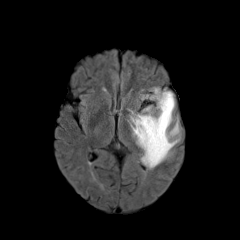
FLAIR magnetic resonance.
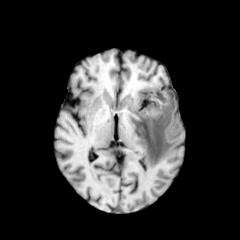
T1-weighted MRI.
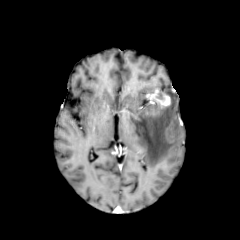
Same slice, post-contrast T1-weighted MR image.
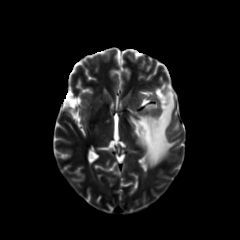
T2-weighted MR.
Axial view
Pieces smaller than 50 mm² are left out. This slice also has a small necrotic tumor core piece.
{"peritumoral_edema": ["[130, 92, 180, 166]"], "enhancing_tumor": ["[145, 87, 170, 118]"]}